Head | 240x240 px
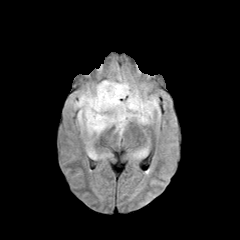
FLAIR magnetic resonance.
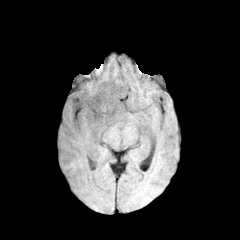
T1-weighted magnetic resonance of the same slice.
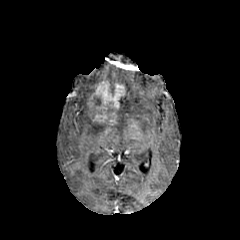
Post-contrast T1-weighted MR image of the same slice.
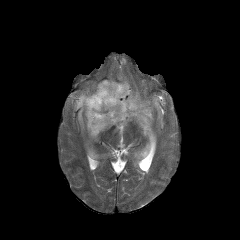
T2-weighted MRI.
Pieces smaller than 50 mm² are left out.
Findings:
- enhancing tumor: 88:81:125:124
- peritumoral edema: 103:73:159:136, 71:85:112:136, 133:149:146:158, 87:147:103:159
- necrotic tumor core: 98:107:115:114, 91:96:101:106